240x240; Head
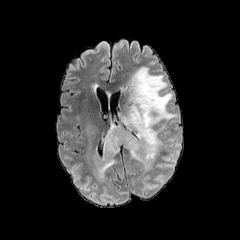
FLAIR MR image.
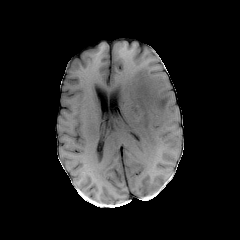
T1-weighted magnetic resonance.
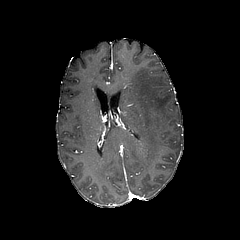
Post-contrast T1-weighted MRI.
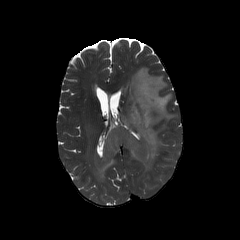
Same slice, T2-weighted magnetic resonance.
peritumoral edema — rect(96, 66, 176, 178)